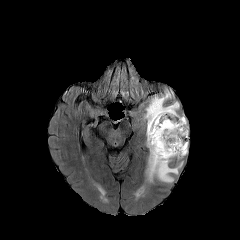
FLAIR MR.
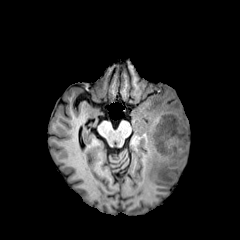
T1-weighted magnetic resonance.
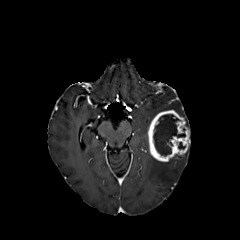
Post-contrast T1-weighted MRI of the same slice.
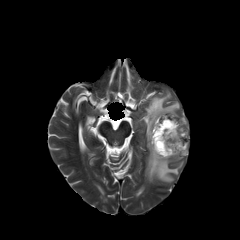
T2-weighted magnetic resonance.
Axial slice
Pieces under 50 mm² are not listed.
peritumoral edema — left=144, top=91, right=179, bottom=131; left=146, top=155, right=182, bottom=182
necrotic tumor core — left=153, top=114, right=185, bottom=155
enhancing tumor — left=147, top=110, right=189, bottom=162